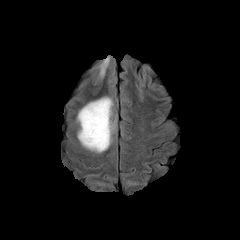
FLAIR MR.
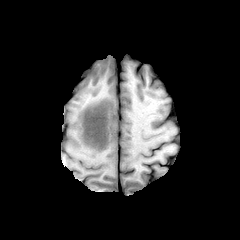
T1-weighted MRI of the same slice.
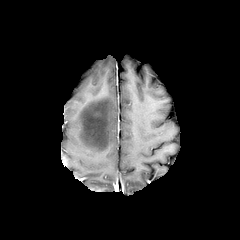
Post-contrast T1-weighted MR image of the same slice.
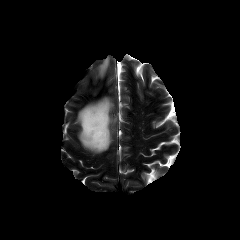
Same slice, T2-weighted MR image.
Axial plane; Head
<segmentation>
  <peritumoral_edema>bbox(77, 97, 114, 152); bbox(100, 57, 109, 76)</peritumoral_edema>
</segmentation>